FLAIR MRI.
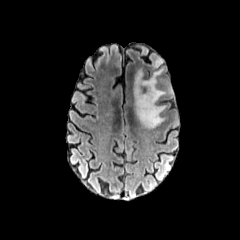
T1-weighted magnetic resonance.
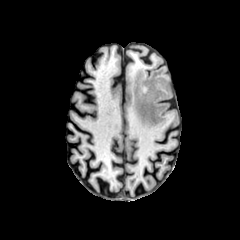
Post-contrast T1-weighted MR image.
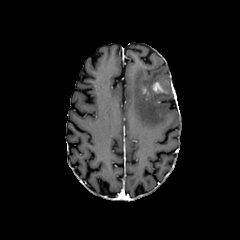
T2-weighted MR.
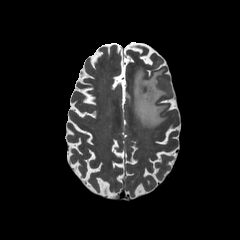
Head; Axial view
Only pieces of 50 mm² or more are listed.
enhancing tumor: bounding box (152, 82, 165, 93)
peritumoral edema: bounding box (153, 57, 162, 67), (133, 68, 172, 128)